FLAIR MR.
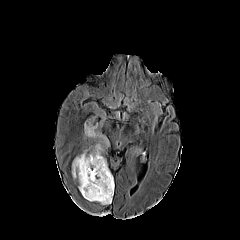
T1-weighted MRI.
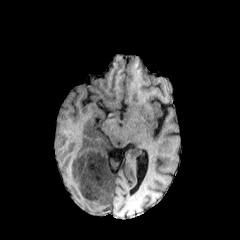
Post-contrast T1-weighted MR image.
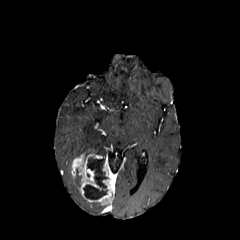
T2-weighted MR image.
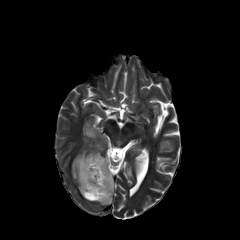
240x240 | Head | Axial view
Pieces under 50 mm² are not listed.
Findings:
* necrotic tumor core: rect(83, 157, 107, 199)
* peritumoral edema: rect(85, 125, 108, 144); rect(93, 143, 102, 154)
* enhancing tumor: rect(71, 150, 114, 205)